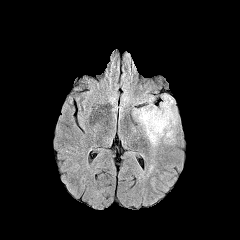
FLAIR MR.
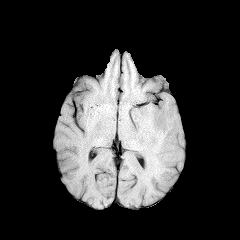
T1-weighted MR.
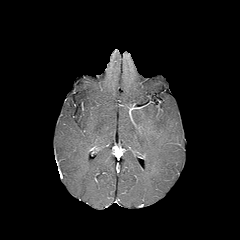
Post-contrast T1-weighted MRI.
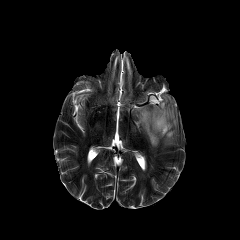
T2-weighted MR.
Axial slice
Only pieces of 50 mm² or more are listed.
The largest peritumoral edema region is bounded by region(134, 94, 177, 146).